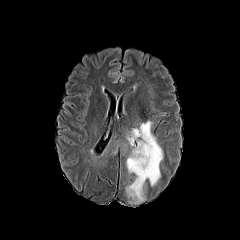
FLAIR magnetic resonance.
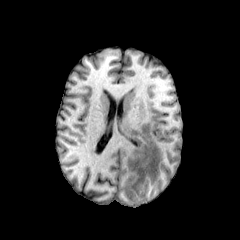
Same slice, T1-weighted magnetic resonance.
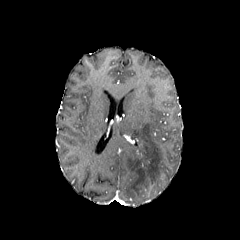
Post-contrast T1-weighted MR image.
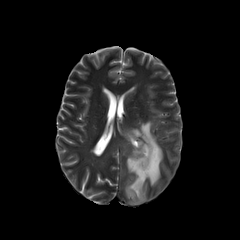
T2-weighted MR.
240x240. Head. Axial view.
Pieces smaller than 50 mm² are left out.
The 2 largest peritumoral edema regions appear at 123,119,164,204; 110,138,127,156.